FLAIR magnetic resonance.
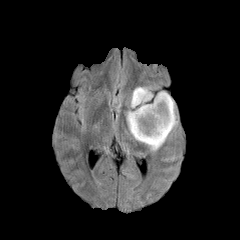
T1-weighted MR.
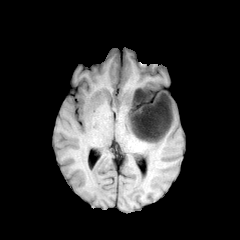
Post-contrast T1-weighted MRI.
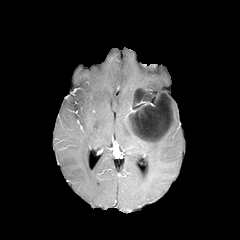
T2-weighted MR image.
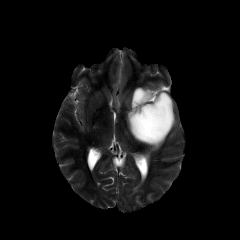
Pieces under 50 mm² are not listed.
The 2 largest enhancing tumor regions appear at (130, 93, 172, 141), (134, 95, 152, 108). 2 necrotic tumor core regions appear at (135, 91, 150, 103), (132, 94, 171, 139). The largest peritumoral edema region appears at (126, 87, 177, 151).